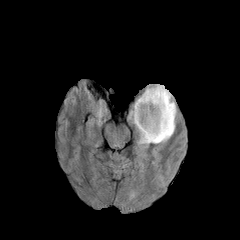
FLAIR magnetic resonance.
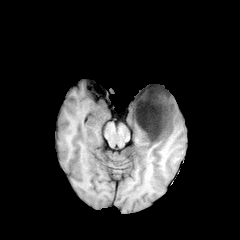
T1-weighted magnetic resonance.
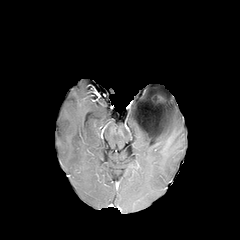
Same slice, post-contrast T1-weighted MR image.
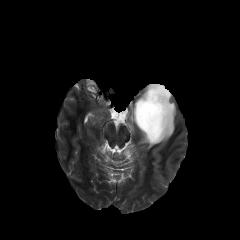
T2-weighted magnetic resonance of the same slice.
Head. 240x240.
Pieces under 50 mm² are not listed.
enhancing tumor — 151:95:163:103, 133:86:172:140
peritumoral edema — 129:93:176:144
necrotic tumor core — 135:88:170:139